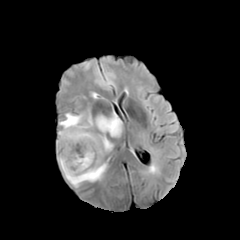
FLAIR magnetic resonance.
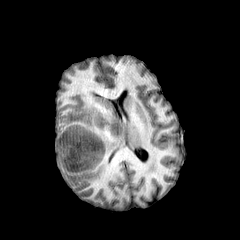
T1-weighted magnetic resonance.
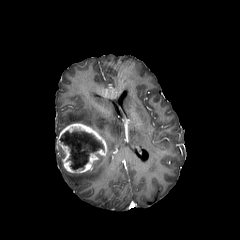
Post-contrast T1-weighted MRI of the same slice.
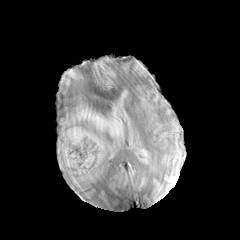
T2-weighted magnetic resonance.
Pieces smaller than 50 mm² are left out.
Annotated regions:
* enhancing tumor: 56, 123, 107, 173
* peritumoral edema: 59, 108, 123, 152; 57, 155, 107, 187
* necrotic tumor core: 60, 131, 103, 169